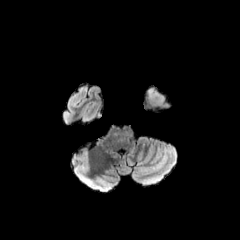
FLAIR magnetic resonance.
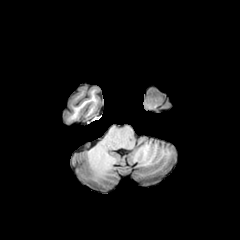
T1-weighted MR of the same slice.
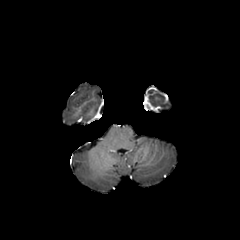
Post-contrast T1-weighted MR image of the same slice.
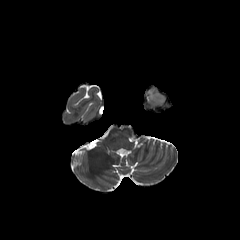
T2-weighted MRI of the same slice.
Axial plane | Head
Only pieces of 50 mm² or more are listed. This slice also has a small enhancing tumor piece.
{"peritumoral_edema": ["146:89:164:105"]}